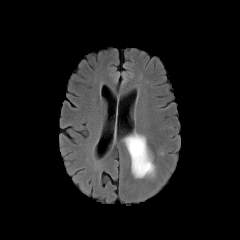
FLAIR MR.
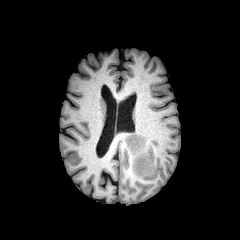
T1-weighted MRI.
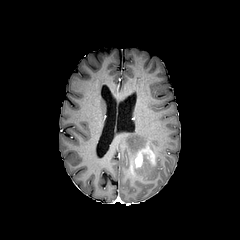
Post-contrast T1-weighted MR.
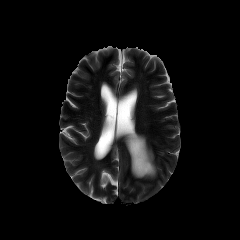
T2-weighted MR.
peritumoral edema — [x1=124, y1=133, x2=155, y2=178]
enhancing tumor — [x1=135, y1=149, x2=153, y2=168]